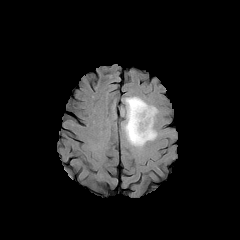
FLAIR MR image.
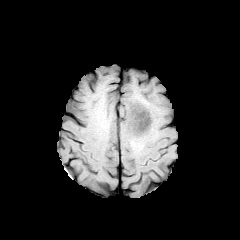
T1-weighted MR.
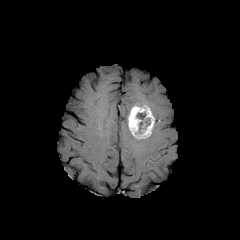
Same slice, post-contrast T1-weighted MR image.
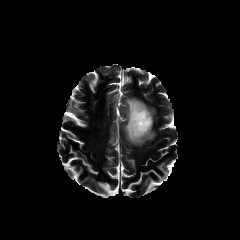
Same slice, T2-weighted MR image.
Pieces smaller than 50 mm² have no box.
Annotated regions:
- peritumoral edema: (left=123, top=97, right=157, bottom=146)
- enhancing tumor: (left=128, top=103, right=154, bottom=139)